Image size 240x240. Brain.
FLAIR MRI.
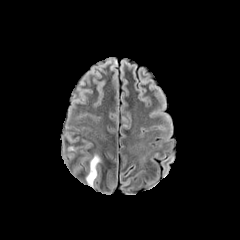
T1-weighted MRI.
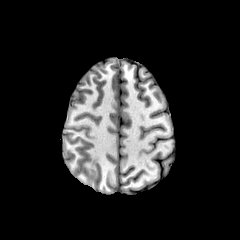
Post-contrast T1-weighted MRI.
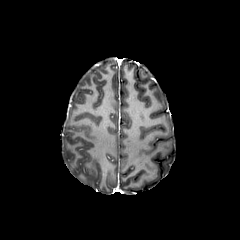
T2-weighted magnetic resonance.
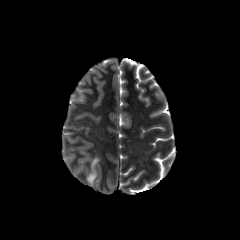
Segmented structures:
• peritumoral edema: {"x1": 86, "y1": 156, "x2": 99, "y2": 186}